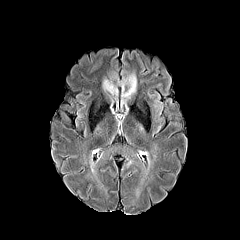
FLAIR MRI.
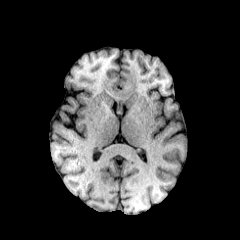
T1-weighted magnetic resonance.
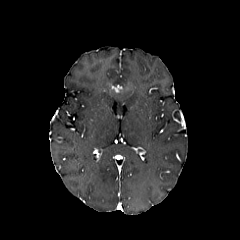
Post-contrast T1-weighted MR image.
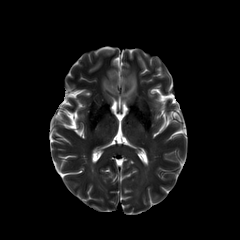
T2-weighted magnetic resonance of the same slice.
Axial view
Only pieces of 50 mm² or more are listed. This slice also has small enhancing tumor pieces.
The 2 largest peritumoral edema regions appear at bbox=[119, 72, 136, 101]; bbox=[102, 79, 117, 95].